Head, Slice index 72, Image width 240 mm, 1.00 mm slice spacing
FLAIR MR.
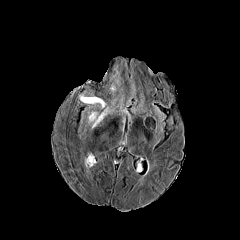
T1-weighted MRI.
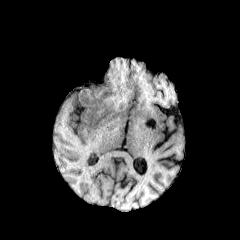
Post-contrast T1-weighted MRI.
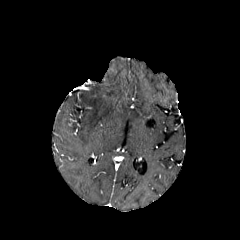
T2-weighted MR.
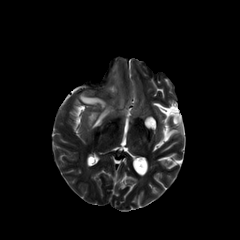
* peritumoral edema: region(88, 107, 110, 128); region(80, 94, 105, 107)